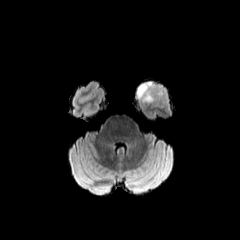
FLAIR MR.
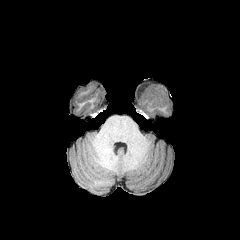
T1-weighted magnetic resonance of the same slice.
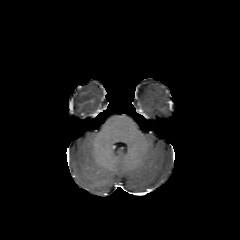
Post-contrast T1-weighted MR image.
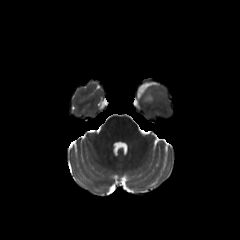
T2-weighted magnetic resonance of the same slice.
Brain, Axial slice
peritumoral_edema:
  - bbox=[137, 81, 153, 101]